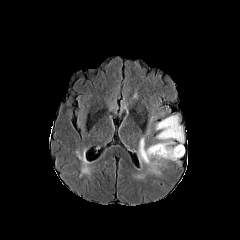
FLAIR MRI.
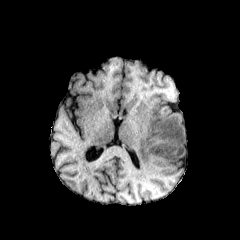
T1-weighted MR image.
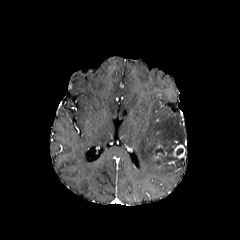
Post-contrast T1-weighted MRI.
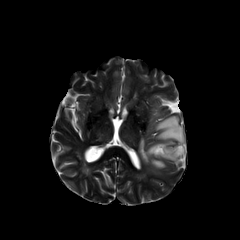
T2-weighted MR.
240x240 px; Axial plane
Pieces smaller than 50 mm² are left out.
necrotic tumor core: bounding box bbox(153, 148, 164, 155)
peritumoral edema: bounding box bbox(137, 115, 184, 174); bbox(161, 156, 178, 167)
enhancing tumor: bounding box bbox(154, 145, 185, 160)